FLAIR MR.
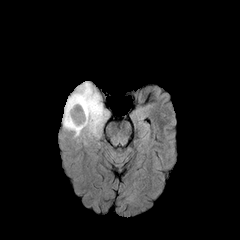
T1-weighted MRI.
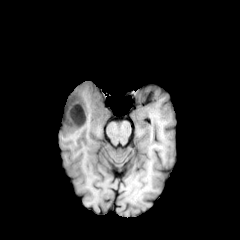
Post-contrast T1-weighted MR image.
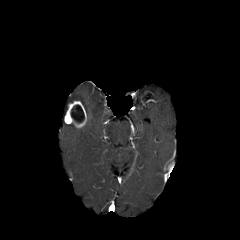
T2-weighted MR.
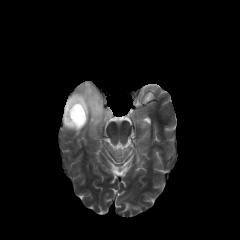
Brain.
Annotated regions:
• peritumoral edema: [62,81,108,140]
• enhancing tumor: [64,100,87,128]
• necrotic tumor core: [71,105,84,122]